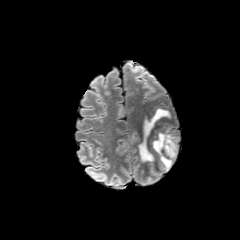
FLAIR MRI.
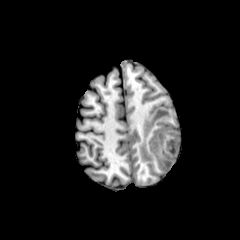
Same slice, T1-weighted MR.
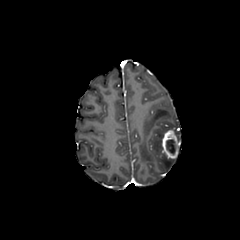
Same slice, post-contrast T1-weighted MR image.
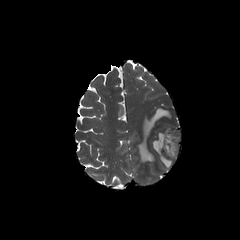
Same slice, T2-weighted magnetic resonance.
Axial slice | Brain
enhancing_tumor:
  - 161, 130, 179, 158
necrotic_tumor_core:
  - 166, 139, 175, 154
peritumoral_edema:
  - 138, 108, 171, 161
  - 152, 126, 179, 170